240x240 px
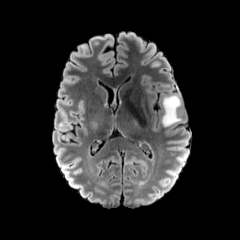
FLAIR magnetic resonance.
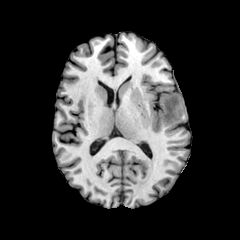
T1-weighted MR image.
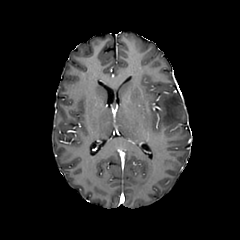
Post-contrast T1-weighted MR image.
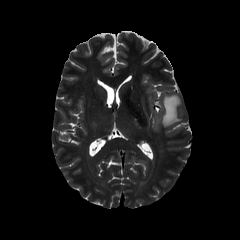
Same slice, T2-weighted MR image.
peritumoral edema: 162, 94, 180, 126